FLAIR MR.
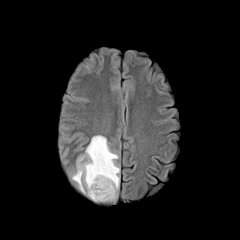
T1-weighted MRI.
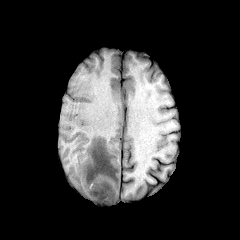
Post-contrast T1-weighted magnetic resonance.
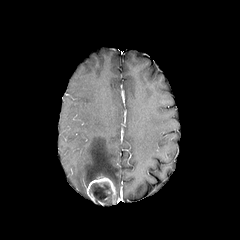
T2-weighted MR.
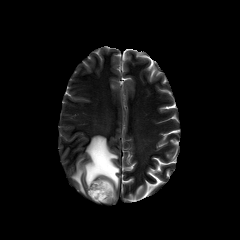
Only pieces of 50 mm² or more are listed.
enhancing_tumor:
  - left=86, top=176, right=116, bottom=202
necrotic_tumor_core:
  - left=91, top=183, right=111, bottom=202
peritumoral_edema:
  - left=72, top=135, right=119, bottom=195